FLAIR MRI.
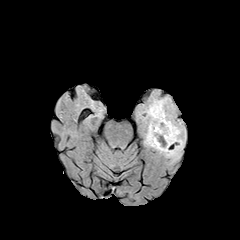
T1-weighted magnetic resonance.
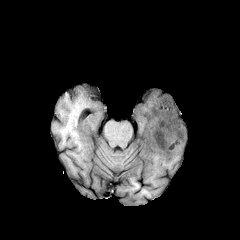
Post-contrast T1-weighted magnetic resonance.
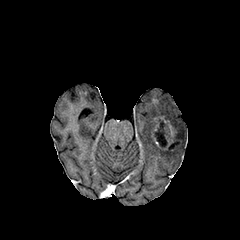
T2-weighted MR image.
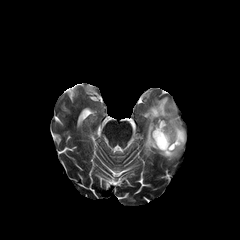
Axial plane | Head
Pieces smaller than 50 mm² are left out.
enhancing_tumor:
  - 159,116,176,149
peritumoral_edema:
  - 144,96,185,158
necrotic_tumor_core:
  - 154,119,170,148